Brain; 240x240; Slice index 85
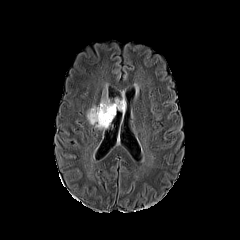
FLAIR MRI.
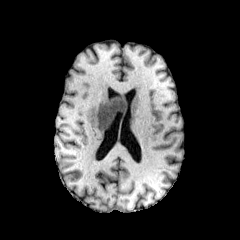
T1-weighted MR.
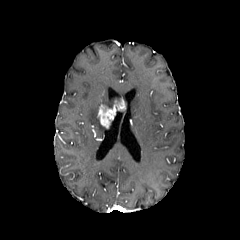
Post-contrast T1-weighted MR image.
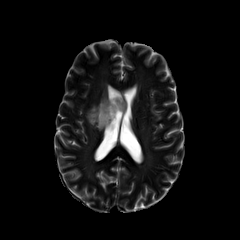
T2-weighted MRI.
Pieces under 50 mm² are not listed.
peritumoral edema: rect(86, 94, 113, 129) | enhancing tumor: rect(97, 100, 125, 128)